FLAIR MR image.
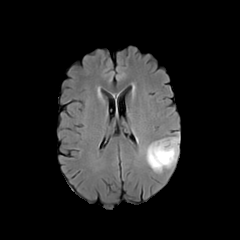
T1-weighted magnetic resonance.
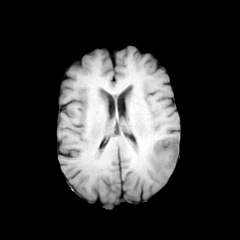
Post-contrast T1-weighted MR.
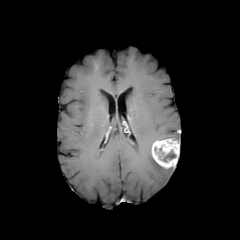
T2-weighted MR.
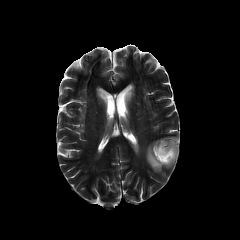
Axial slice, 240x240 px, Head
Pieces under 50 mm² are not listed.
enhancing tumor: rect(151, 138, 179, 168) | necrotic tumor core: rect(161, 151, 175, 161) | peritumoral edema: rect(145, 143, 165, 172)